FLAIR MRI.
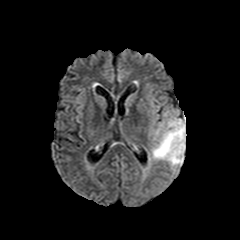
T1-weighted MR image.
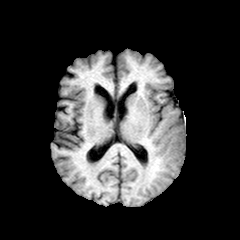
Post-contrast T1-weighted MR image.
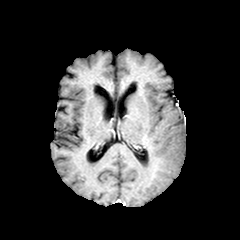
T2-weighted MR.
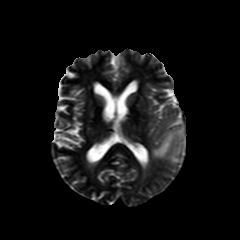
Image size 240x240
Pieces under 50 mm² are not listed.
peritumoral_edema:
  - box=[151, 116, 186, 171]